FLAIR MRI.
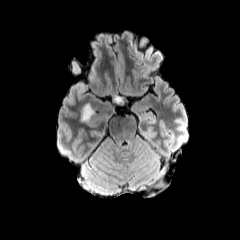
T1-weighted MR image.
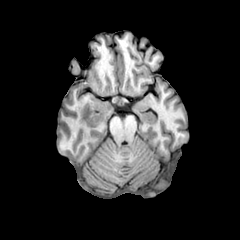
Post-contrast T1-weighted MR image.
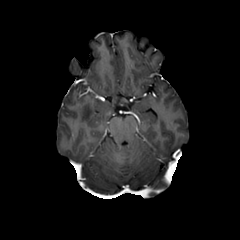
T2-weighted MRI.
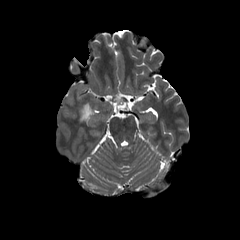
Image size 240x240, Head
peritumoral edema: 113, 96, 122, 102; 81, 104, 93, 121